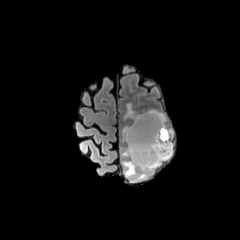
FLAIR magnetic resonance.
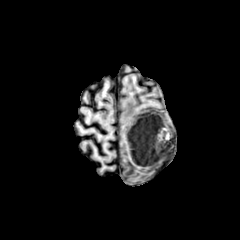
Same slice, T1-weighted MR.
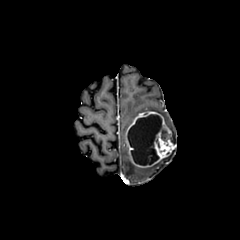
Post-contrast T1-weighted MRI of the same slice.
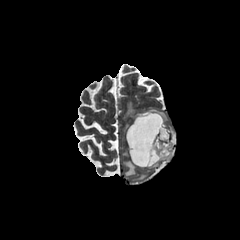
T2-weighted magnetic resonance of the same slice.
Brain | 240x240 px
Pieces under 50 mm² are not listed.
enhancing_tumor:
  - left=125, top=111, right=174, bottom=167
peritumoral_edema:
  - left=122, top=151, right=172, bottom=182
  - left=124, top=103, right=136, bottom=119
necrotic_tumor_core:
  - left=127, top=114, right=168, bottom=165